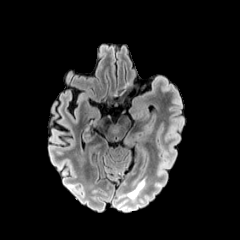
FLAIR magnetic resonance.
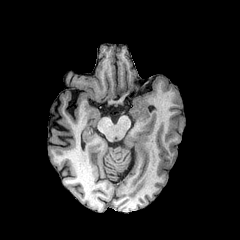
T1-weighted magnetic resonance.
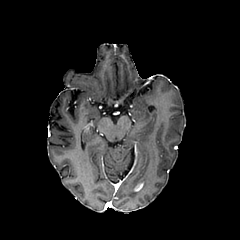
Post-contrast T1-weighted MR.
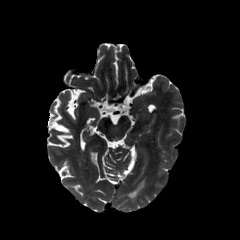
T2-weighted magnetic resonance.
Head
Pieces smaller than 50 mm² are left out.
The largest peritumoral edema region is bounded by [x1=128, y1=189, x2=139, y2=198]. The enhancing tumor appears at [x1=134, y1=182, x2=143, y2=191].